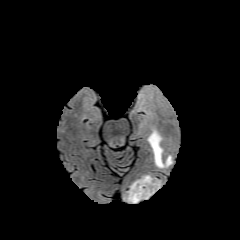
FLAIR MR.
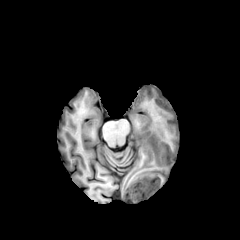
T1-weighted MRI.
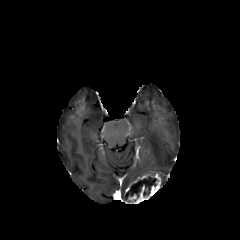
Same slice, post-contrast T1-weighted MR image.
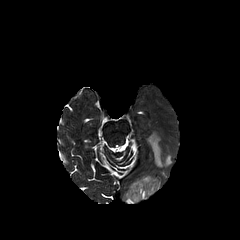
Same slice, T2-weighted MRI.
Head.
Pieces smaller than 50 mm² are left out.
necrotic tumor core — [125, 176, 156, 200]
peritumoral edema — [147, 130, 172, 168]
enhancing tumor — [125, 173, 161, 203]